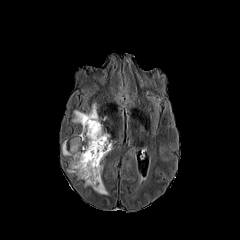
FLAIR magnetic resonance.
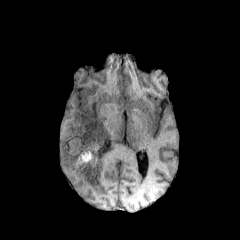
T1-weighted MRI.
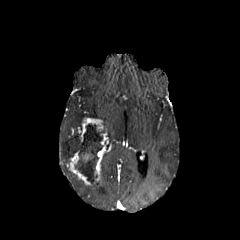
Post-contrast T1-weighted magnetic resonance.
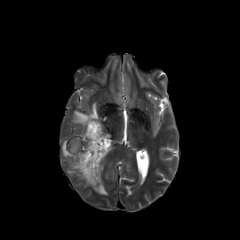
T2-weighted MRI of the same slice.
Head; 240x240 px
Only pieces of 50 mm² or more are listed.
The 3 largest peritumoral edema regions are located at x1=72 y1=103 x2=98 y2=123, x1=62 y1=135 x2=80 y2=157, x1=91 y1=180 x2=107 y2=194. The largest enhancing tumor region is located at x1=67 y1=117 x2=111 y2=186. The necrotic tumor core is bounded by x1=75 y1=124 x2=103 y2=183.